Axial slice | Slice index 99
FLAIR magnetic resonance.
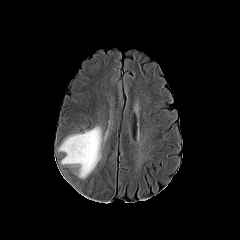
T1-weighted magnetic resonance.
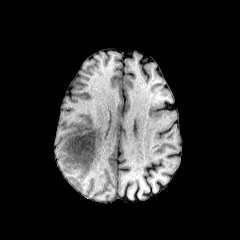
Post-contrast T1-weighted magnetic resonance.
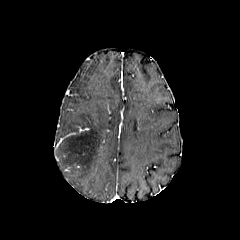
T2-weighted MR.
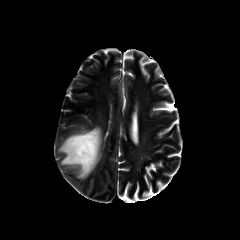
peritumoral edema = l=58, t=127, r=101, b=178